Head
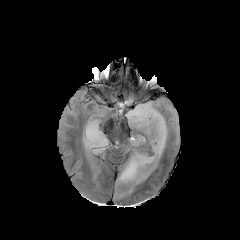
FLAIR MRI.
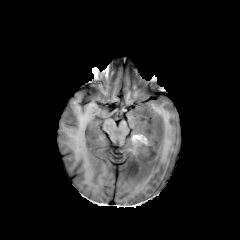
T1-weighted magnetic resonance of the same slice.
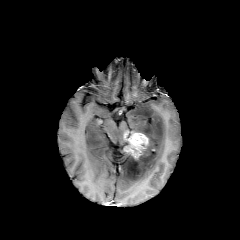
Same slice, post-contrast T1-weighted MRI.
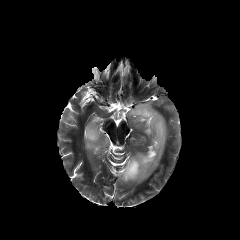
T2-weighted MRI.
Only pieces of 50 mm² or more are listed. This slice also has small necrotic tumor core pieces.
peritumoral edema: (x1=83, y1=120, x2=108, y2=158), (x1=117, y1=101, x2=167, y2=184) | enhancing tumor: (x1=124, y1=133, x2=148, y2=158)